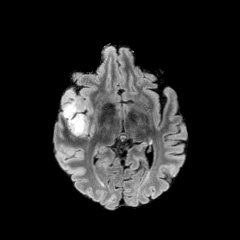
FLAIR MR image.
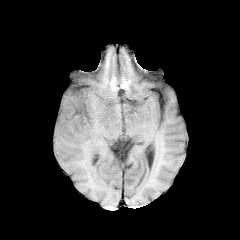
T1-weighted MR image.
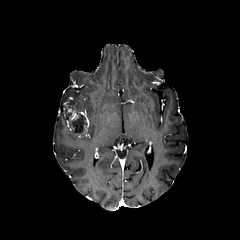
Same slice, post-contrast T1-weighted MRI.
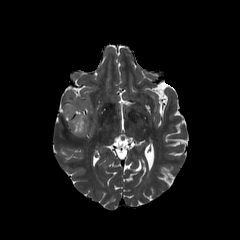
Same slice, T2-weighted MR.
Axial view, 240x240 px, Brain
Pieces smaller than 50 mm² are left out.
The largest peritumoral edema region is located at bbox(64, 100, 81, 108). The enhancing tumor is bounded by bbox(62, 102, 89, 137). The largest necrotic tumor core region is located at bbox(69, 114, 86, 133).